Slice 41 of 155, Image size 240x240, Axial view
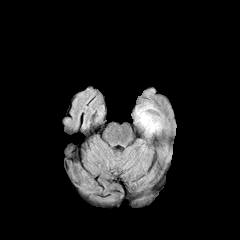
FLAIR MRI.
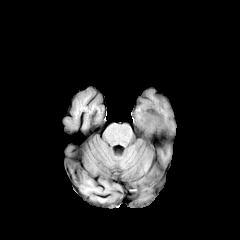
T1-weighted MR.
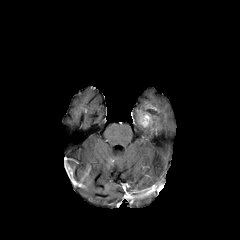
Post-contrast T1-weighted MR image.
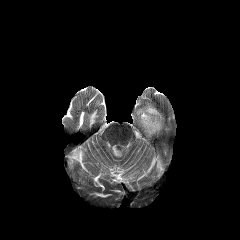
T2-weighted MR.
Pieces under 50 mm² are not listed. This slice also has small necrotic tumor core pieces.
enhancing tumor: <box>137,110,159,133</box>
peritumoral edema: <box>139,110,163,136</box>, <box>134,102,153,123</box>